Axial slice. Image covers 240 mm x 240 mm. Slice 43/155. Head.
FLAIR magnetic resonance.
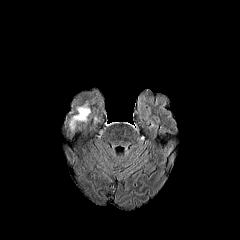
T1-weighted MR.
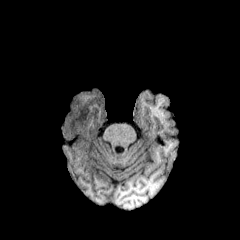
Post-contrast T1-weighted MR.
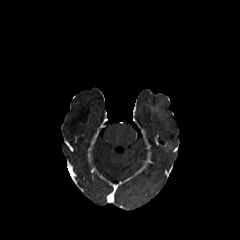
T2-weighted MRI.
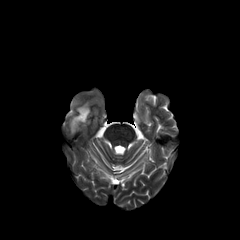
Segmented structures:
• peritumoral edema: x1=69, y1=103, x2=90, y2=132